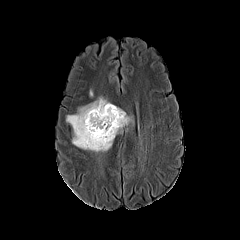
FLAIR magnetic resonance.
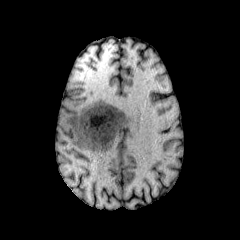
T1-weighted MRI.
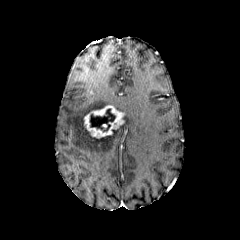
Post-contrast T1-weighted magnetic resonance.
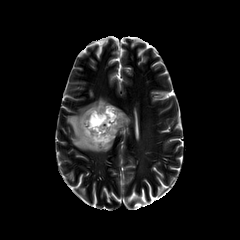
T2-weighted MRI.
Axial slice | Brain
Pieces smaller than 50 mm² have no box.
<segmentation>
  <peritumoral_edema>(66,97,131,152)</peritumoral_edema>
  <enhancing_tumor>(84,105,124,138)</enhancing_tumor>
  <necrotic_tumor_core>(89,108,115,132)</necrotic_tumor_core>
</segmentation>